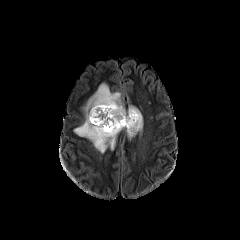
FLAIR MR.
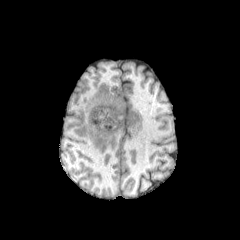
T1-weighted magnetic resonance of the same slice.
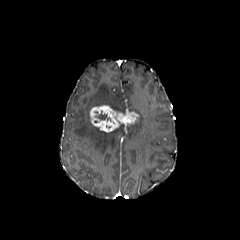
Post-contrast T1-weighted magnetic resonance of the same slice.
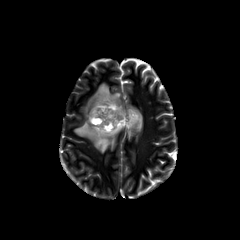
Same slice, T2-weighted MR.
240x240. Axial plane. Head.
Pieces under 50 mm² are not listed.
necrotic tumor core: 97,111,106,119 | peritumoral edema: 74,83,143,153 | enhancing tumor: 90,105,138,132